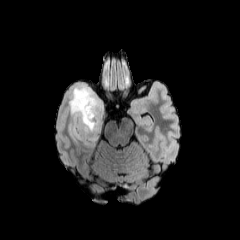
FLAIR MR.
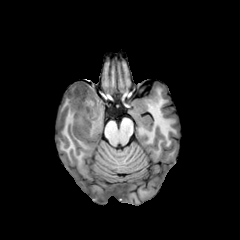
T1-weighted MR.
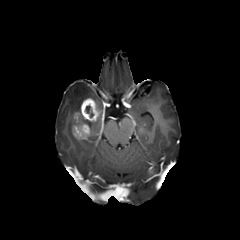
Same slice, post-contrast T1-weighted MR image.
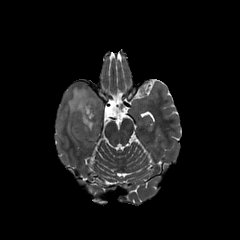
T2-weighted MR.
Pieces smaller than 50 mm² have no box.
enhancing_tumor:
  - box=[72, 98, 101, 140]
peritumoral_edema:
  - box=[68, 84, 103, 146]
necrotic_tumor_core:
  - box=[85, 105, 93, 117]